Slice 59 of 155; Head; Image width 240 mm, 1.00 mm slice spacing
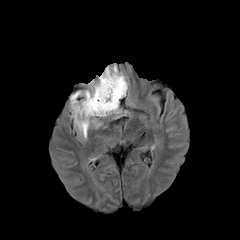
FLAIR MR image.
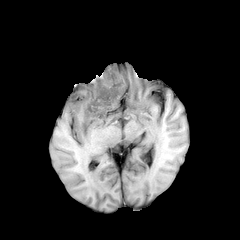
T1-weighted MR image of the same slice.
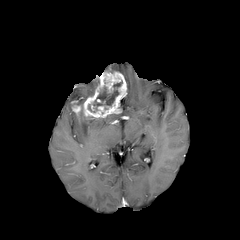
Post-contrast T1-weighted MR.
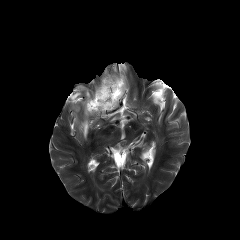
Same slice, T2-weighted MR image.
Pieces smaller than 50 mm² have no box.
The largest enhancing tumor region appears at rect(71, 71, 127, 119). The 2 largest peritumoral edema regions are bounded by rect(72, 111, 100, 139); rect(70, 84, 97, 101). The largest necrotic tumor core region is located at rect(89, 79, 119, 110).